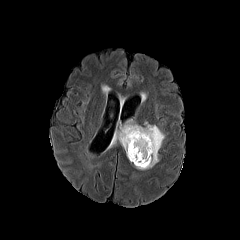
FLAIR MR image.
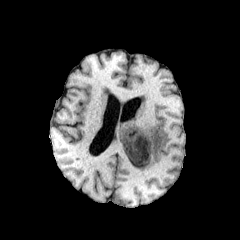
T1-weighted magnetic resonance.
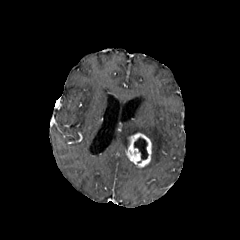
Post-contrast T1-weighted MR.
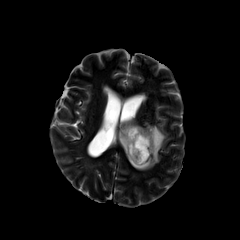
T2-weighted MR.
Brain | Image size 240x240
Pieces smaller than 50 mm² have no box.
peritumoral_edema:
  - {"x1": 110, "y1": 122, "x2": 164, "y2": 169}
necrotic_tumor_core:
  - {"x1": 134, "y1": 137, "x2": 148, "y2": 159}
enhancing_tumor:
  - {"x1": 126, "y1": 132, "x2": 151, "y2": 167}